240x240 px; Brain
FLAIR MR image.
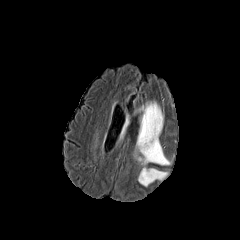
T1-weighted MRI.
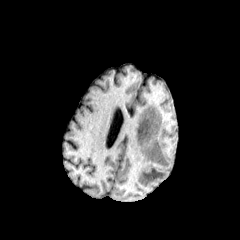
Post-contrast T1-weighted MR.
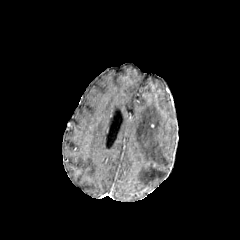
T2-weighted MR.
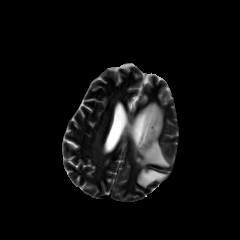
Findings:
• peritumoral edema: l=136, t=102, r=170, b=186